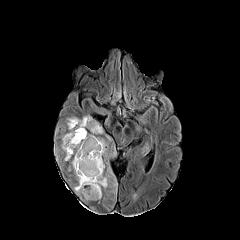
FLAIR MR.
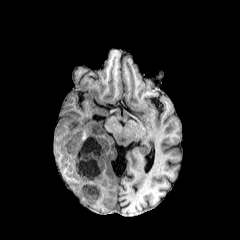
T1-weighted magnetic resonance.
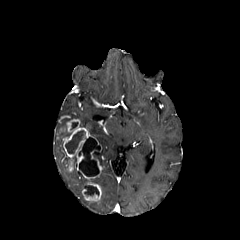
Post-contrast T1-weighted MR image.
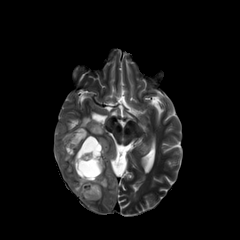
Same slice, T2-weighted MRI.
240x240, Brain, Axial slice
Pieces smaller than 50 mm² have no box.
• necrotic tumor core: box=[65, 130, 85, 153]; box=[78, 137, 101, 176]; box=[84, 185, 99, 195]
• enhancing tumor: box=[63, 118, 103, 201]
• peritumoral edema: box=[91, 137, 110, 188]; box=[108, 167, 117, 193]; box=[74, 168, 88, 195]; box=[80, 116, 103, 134]